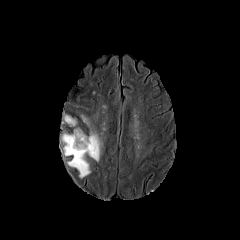
FLAIR MRI.
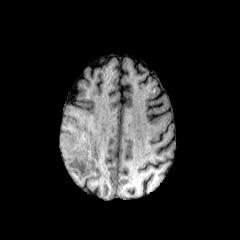
T1-weighted MR image.
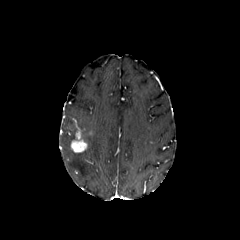
Post-contrast T1-weighted magnetic resonance of the same slice.
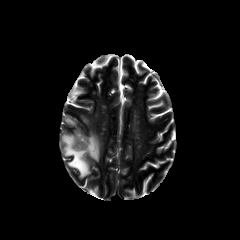
T2-weighted magnetic resonance of the same slice.
Image size 240x240
peritumoral edema at [64, 115, 76, 126], [81, 115, 89, 125], [61, 128, 102, 178]
enhancing tumor at [70, 128, 88, 152]